Axial plane. Slice index 63.
FLAIR magnetic resonance.
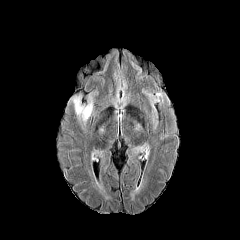
T1-weighted MR image.
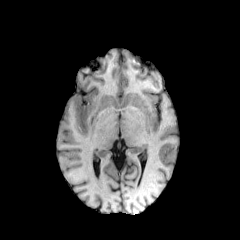
Post-contrast T1-weighted MR image.
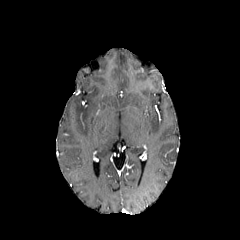
T2-weighted magnetic resonance.
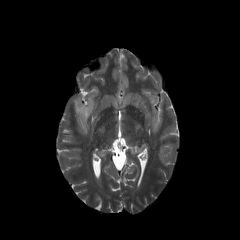
Annotated regions:
- peritumoral edema: x1=70 y1=85 x2=101 y2=136